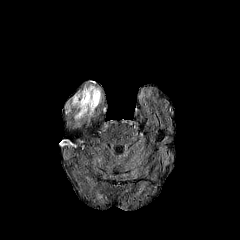
FLAIR MR.
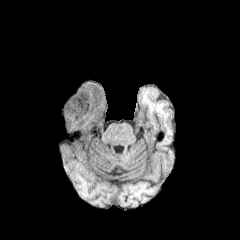
T1-weighted MR image of the same slice.
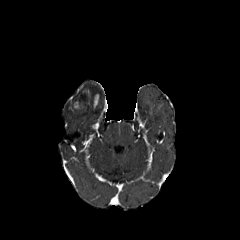
Same slice, post-contrast T1-weighted MR.
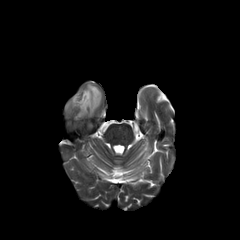
Same slice, T2-weighted magnetic resonance.
Image size 240x240. Brain.
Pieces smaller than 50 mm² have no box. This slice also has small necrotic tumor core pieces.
<segmentation>
  <peritumoral_edema>[65,84,101,119]</peritumoral_edema>
  <enhancing_tumor>[93,94,99,108]</enhancing_tumor>
</segmentation>